FLAIR MRI.
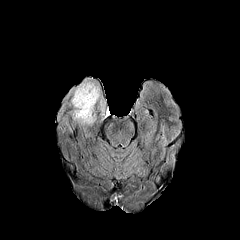
T1-weighted MR image.
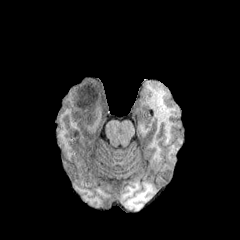
Post-contrast T1-weighted MR image.
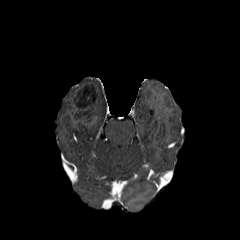
T2-weighted MRI.
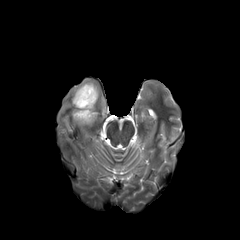
Brain
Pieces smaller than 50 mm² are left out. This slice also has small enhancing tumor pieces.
Segmented structures:
• peritumoral edema: box(71, 78, 105, 120)
• necrotic tumor core: box(73, 109, 92, 124); box(74, 84, 97, 108)